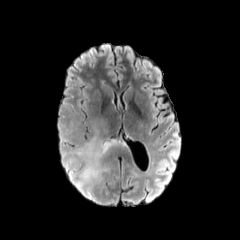
FLAIR magnetic resonance.
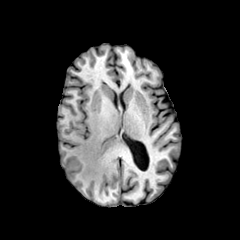
T1-weighted magnetic resonance of the same slice.
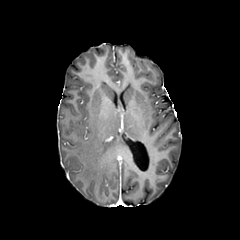
Post-contrast T1-weighted MRI.
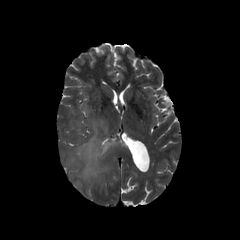
T2-weighted MRI of the same slice.
peritumoral edema = 75:134:124:182